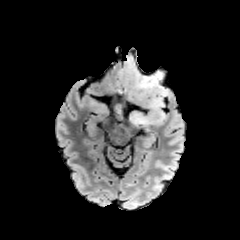
FLAIR magnetic resonance.
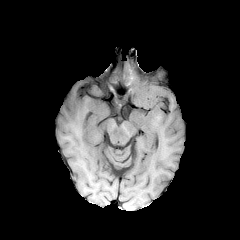
T1-weighted MRI.
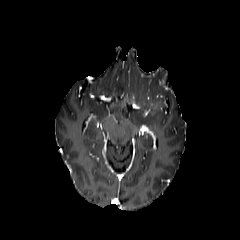
Post-contrast T1-weighted MR image.
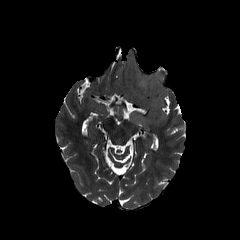
T2-weighted MR image of the same slice.
The peritumoral edema is bounded by left=119, top=57, right=165, bottom=125.